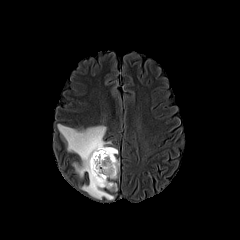
FLAIR MR image.
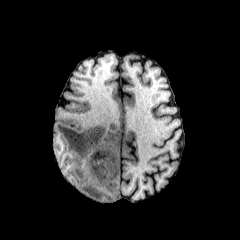
T1-weighted MRI of the same slice.
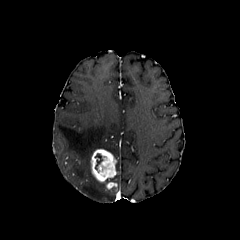
Same slice, post-contrast T1-weighted MR image.
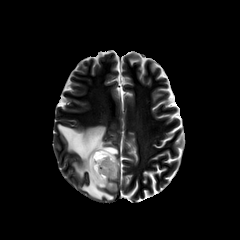
T2-weighted MR of the same slice.
Axial plane
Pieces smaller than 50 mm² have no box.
The enhancing tumor is at 90, 149, 117, 190. The necrotic tumor core lies within 95, 154, 102, 169. The largest peritumoral edema region is located at 57, 124, 118, 200.